FLAIR MR.
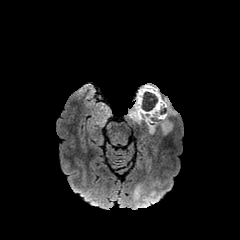
T1-weighted MRI.
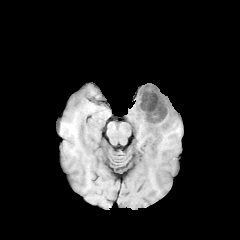
Post-contrast T1-weighted MR.
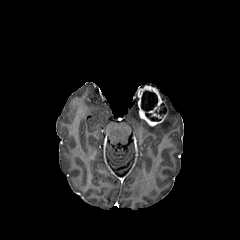
T2-weighted MR.
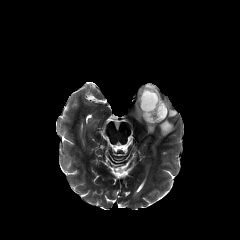
240x240 px; Brain
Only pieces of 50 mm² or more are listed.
peritumoral edema: 162:98:177:116, 128:97:144:123, 146:122:155:133, 158:117:172:134
necrotic tumor core: 155:108:166:116, 141:90:157:110
enhancing tumor: 137:85:167:126